Head
FLAIR MR.
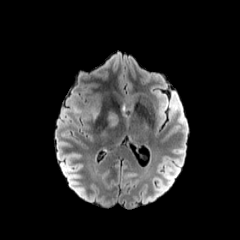
T1-weighted magnetic resonance.
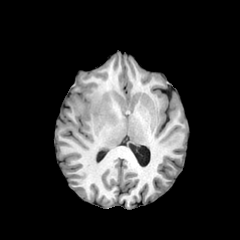
Post-contrast T1-weighted MR.
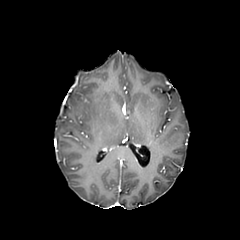
T2-weighted magnetic resonance.
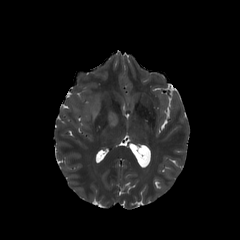
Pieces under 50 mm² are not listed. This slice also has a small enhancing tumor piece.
{
  "peritumoral_edema": [
    "left=91, top=94, right=102, bottom=119",
    "left=108, top=111, right=117, bottom=127"
  ]
}